FLAIR magnetic resonance.
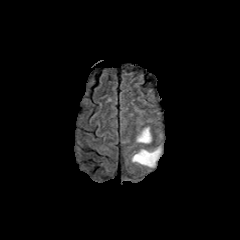
T1-weighted MRI.
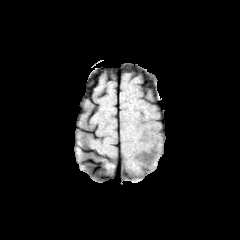
Post-contrast T1-weighted MR image.
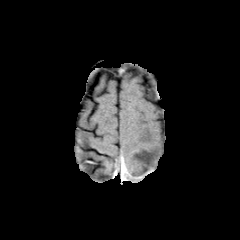
T2-weighted magnetic resonance.
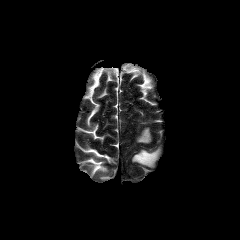
peritumoral edema: bounding box left=136, top=127, right=151, bottom=143; left=132, top=147, right=161, bottom=167